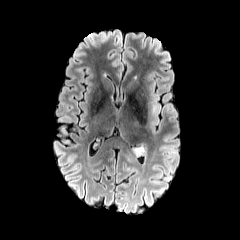
FLAIR MRI.
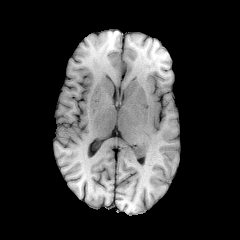
T1-weighted MR image.
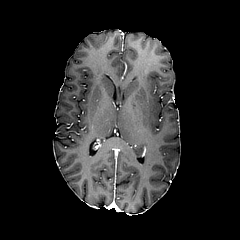
Post-contrast T1-weighted MRI.
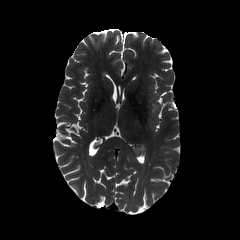
T2-weighted MR.
Axial view; Head
The peritumoral edema is bounded by [133,146,143,155].